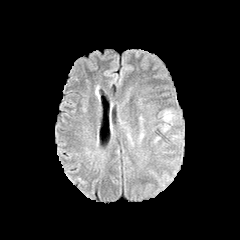
FLAIR MR image.
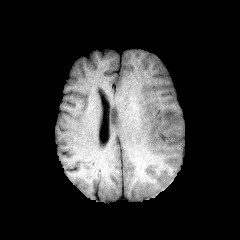
T1-weighted magnetic resonance.
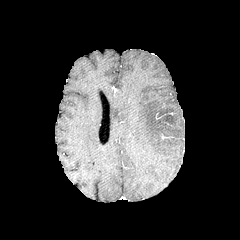
Same slice, post-contrast T1-weighted MRI.
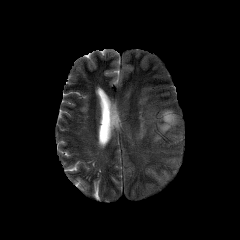
Same slice, T2-weighted MR.
Axial view | Brain
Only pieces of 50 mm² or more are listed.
- peritumoral edema: 163:110:175:123